FLAIR MRI.
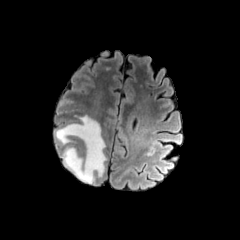
T1-weighted magnetic resonance.
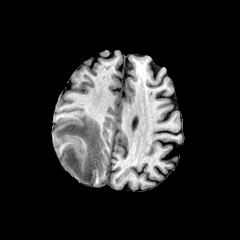
Post-contrast T1-weighted magnetic resonance.
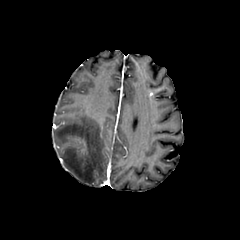
T2-weighted MR image.
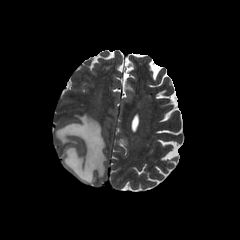
Axial slice
The peritumoral edema appears at 55:115:106:183.